Brain
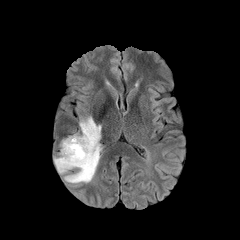
FLAIR magnetic resonance.
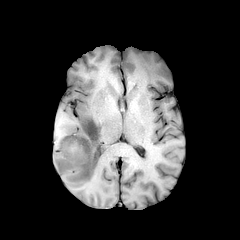
T1-weighted magnetic resonance.
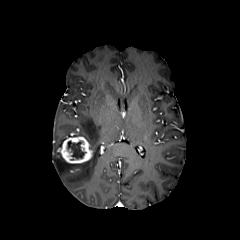
Post-contrast T1-weighted MR of the same slice.
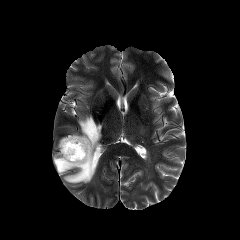
Same slice, T2-weighted MR image.
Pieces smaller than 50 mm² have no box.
necrotic tumor core — rect(67, 141, 85, 158)
peritumoral edema — rect(54, 116, 101, 183)
enhancing tumor — rect(59, 135, 92, 163)